240x240 px; Brain
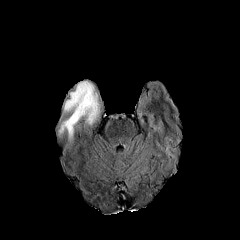
FLAIR MRI.
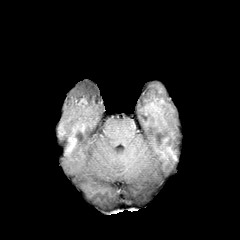
T1-weighted MRI.
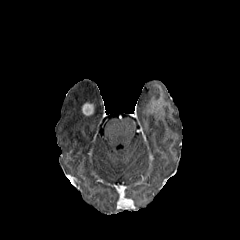
Post-contrast T1-weighted MR image.
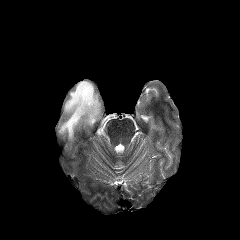
T2-weighted magnetic resonance.
enhancing_tumor:
  - x1=82, y1=102, x2=94, y2=115
peritumoral_edema:
  - x1=59, y1=81, x2=100, y2=140